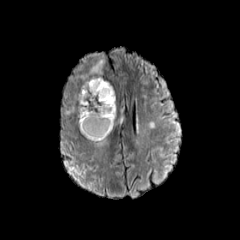
FLAIR magnetic resonance.
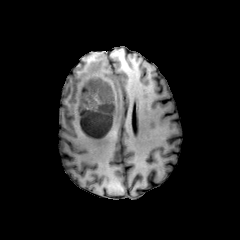
T1-weighted MRI of the same slice.
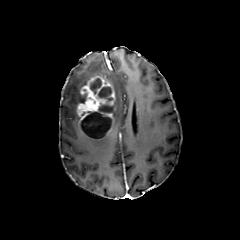
Post-contrast T1-weighted MRI.
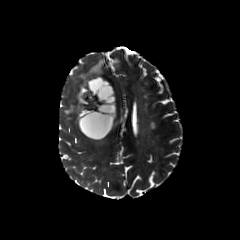
T2-weighted MRI.
240x240 px. Brain.
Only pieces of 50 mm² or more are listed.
• necrotic tumor core: region(90, 78, 101, 94); region(81, 111, 111, 138); region(98, 87, 112, 100); region(98, 105, 112, 112)
• enhancing tumor: region(77, 76, 115, 139)
• peritumoral edema: region(118, 106, 124, 123); region(65, 58, 104, 125)